Image width 240 mm, 1.00 mm slice spacing, Slice 97/155
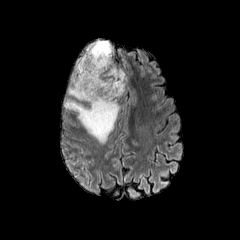
FLAIR magnetic resonance.
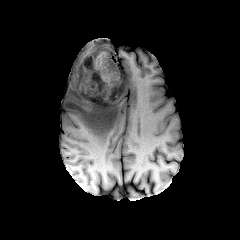
T1-weighted MR.
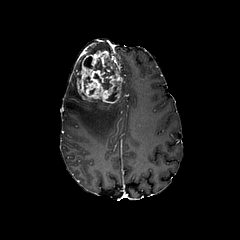
Post-contrast T1-weighted magnetic resonance.
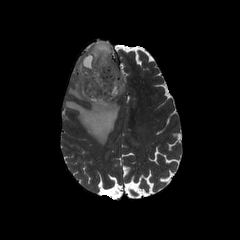
T2-weighted MRI of the same slice.
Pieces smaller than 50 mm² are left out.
<segmentation>
  <enhancing_tumor><box>76,50,123,107</box></enhancing_tumor>
  <peritumoral_edema><box>64,41,120,144</box>, <box>121,69,125,95</box></peritumoral_edema>
  <necrotic_tumor_core><box>106,86,117,101</box>, <box>84,56,92,68</box>, <box>93,58,115,89</box></necrotic_tumor_core>
</segmentation>